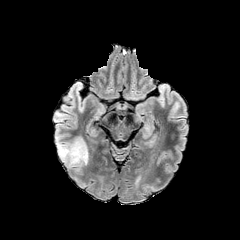
FLAIR MR.
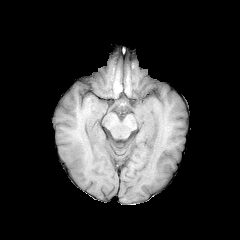
T1-weighted MR image.
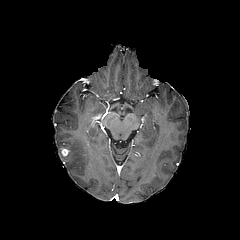
Post-contrast T1-weighted MR.
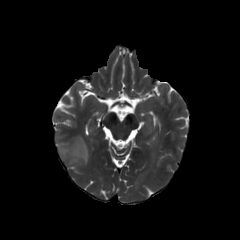
T2-weighted MRI.
Image size 240x240; Axial plane; Head
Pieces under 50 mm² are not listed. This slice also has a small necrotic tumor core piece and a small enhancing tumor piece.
The peritumoral edema is bounded by 57,137,88,167.